Axial slice
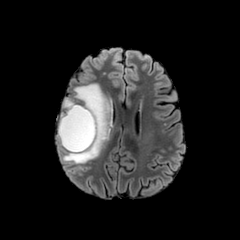
FLAIR magnetic resonance.
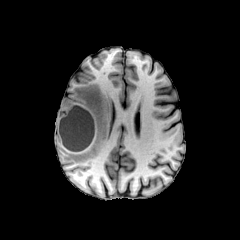
T1-weighted magnetic resonance of the same slice.
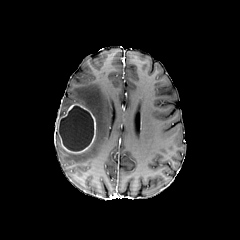
Post-contrast T1-weighted magnetic resonance.
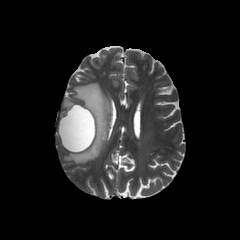
T2-weighted MR of the same slice.
enhancing tumor — x1=57, y1=104, x2=96, y2=153
necrotic tumor core — x1=59, y1=106, x2=93, y2=151
peritumoral edema — x1=60, y1=97, x2=76, y2=117; x1=56, y1=83, x2=112, y2=163